Image size 240x240 | Axial slice | Slice 62 of 155
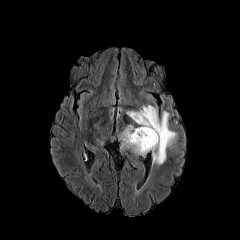
FLAIR magnetic resonance.
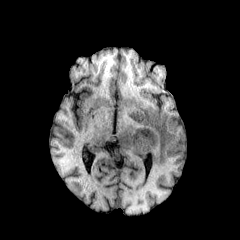
Same slice, T1-weighted MR image.
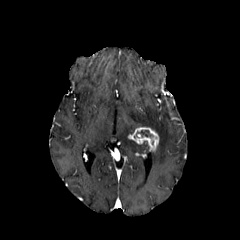
Same slice, post-contrast T1-weighted MR.
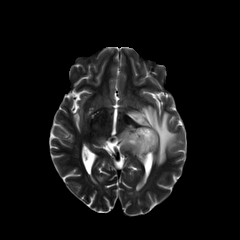
T2-weighted MR image.
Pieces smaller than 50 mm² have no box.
peritumoral edema: (left=128, top=105, right=177, bottom=165), (left=118, top=125, right=149, bottom=153) | enhancing tumor: (left=128, top=127, right=159, bottom=151) | necrotic tumor core: (left=137, top=130, right=153, bottom=137)